FLAIR MR.
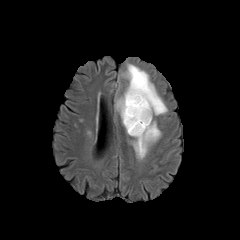
T1-weighted magnetic resonance.
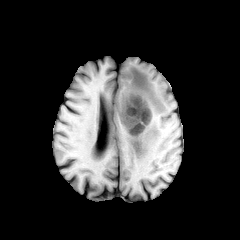
Post-contrast T1-weighted MR image.
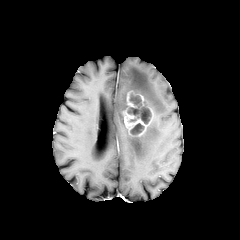
T2-weighted magnetic resonance.
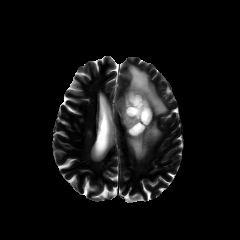
Axial slice, Head
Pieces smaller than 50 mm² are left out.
<segmentation>
  <necrotic_tumor_core>bbox=[127, 93, 151, 124]; bbox=[130, 123, 144, 134]</necrotic_tumor_core>
  <enhancing_tumor>bbox=[122, 91, 153, 136]</enhancing_tumor>
  <peritumoral_edema>bbox=[131, 120, 161, 159]; bbox=[115, 64, 167, 134]</peritumoral_edema>
</segmentation>